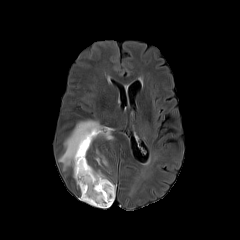
FLAIR magnetic resonance.
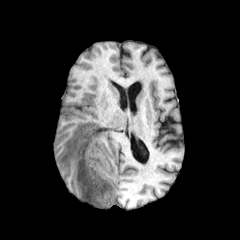
T1-weighted MRI.
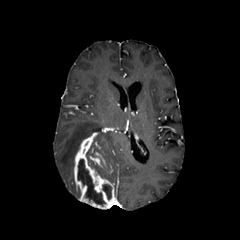
Post-contrast T1-weighted MRI of the same slice.
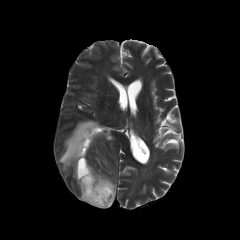
Same slice, T2-weighted MRI.
Brain
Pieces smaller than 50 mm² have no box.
enhancing tumor — rect(74, 132, 115, 209); rect(90, 152, 105, 166)
peritumoral edema — rect(58, 120, 113, 176)
necrotic tumor core — rect(88, 158, 98, 171); rect(102, 184, 111, 199); rect(77, 159, 105, 206)